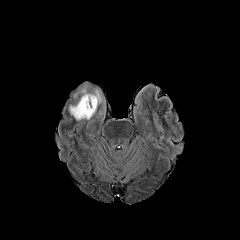
FLAIR MRI.
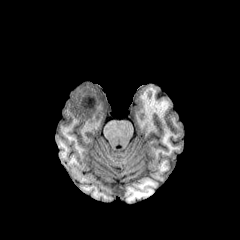
T1-weighted MR.
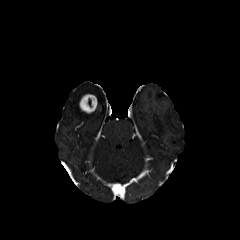
Post-contrast T1-weighted MR.
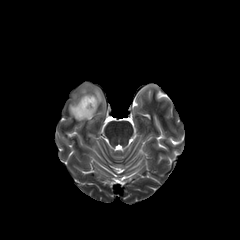
T2-weighted MR image of the same slice.
Axial view
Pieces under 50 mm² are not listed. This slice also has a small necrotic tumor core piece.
enhancing tumor: l=79, t=94, r=97, b=113 | peritumoral edema: l=69, t=102, r=96, b=127; l=73, t=82, r=105, b=116